240x240 px.
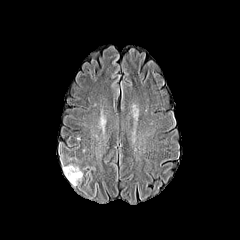
FLAIR magnetic resonance.
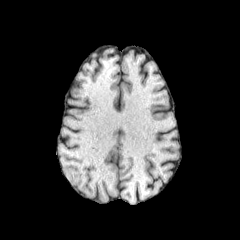
Same slice, T1-weighted magnetic resonance.
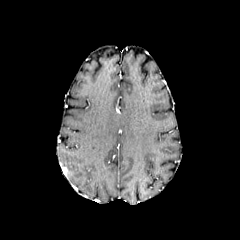
Same slice, post-contrast T1-weighted MR.
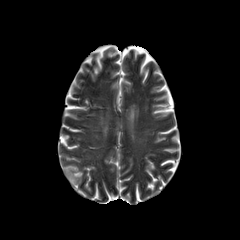
Same slice, T2-weighted MRI.
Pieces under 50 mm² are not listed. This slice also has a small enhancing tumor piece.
peritumoral_edema:
  - region(63, 165, 82, 185)